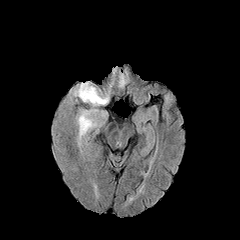
FLAIR MRI.
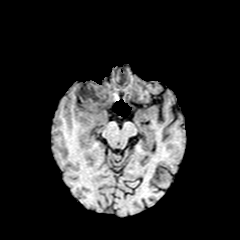
Same slice, T1-weighted MRI.
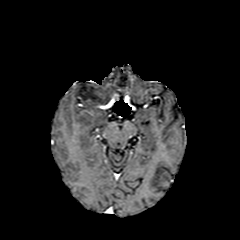
Post-contrast T1-weighted MR of the same slice.
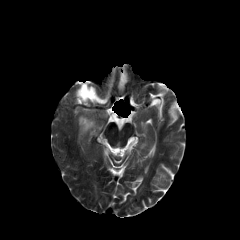
T2-weighted MRI.
{
  "peritumoral_edema": [
    "x1=76 y1=83 x2=108 y2=104",
    "x1=119 y1=74 x2=126 y2=86",
    "x1=78 y1=112 x2=95 y2=136"
  ]
}